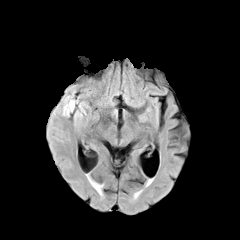
FLAIR MR image.
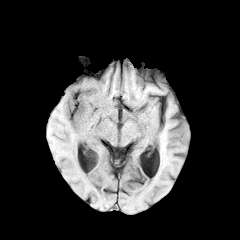
Same slice, T1-weighted magnetic resonance.
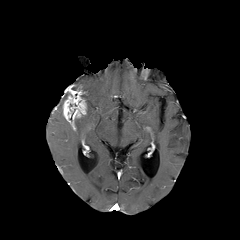
Post-contrast T1-weighted MR image.
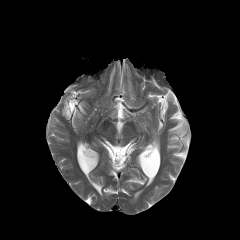
Same slice, T2-weighted MR.
Axial view
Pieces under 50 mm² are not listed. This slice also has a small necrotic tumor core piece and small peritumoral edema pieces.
The enhancing tumor is at box=[63, 86, 86, 120].